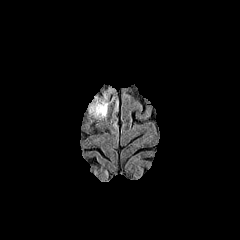
FLAIR MR image.
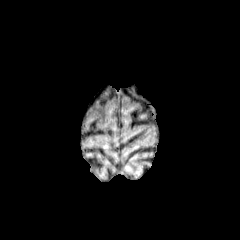
T1-weighted MR image of the same slice.
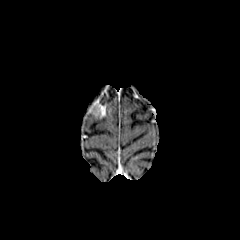
Post-contrast T1-weighted MR image.
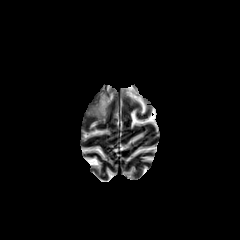
Same slice, T2-weighted MR.
Axial slice | Brain | 240x240 px
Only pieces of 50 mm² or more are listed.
enhancing tumor — {"x1": 89, "y1": 99, "x2": 106, "y2": 118}
peritumoral edema — {"x1": 112, "y1": 100, "x2": 118, "y2": 114}